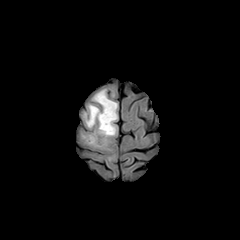
FLAIR MR.
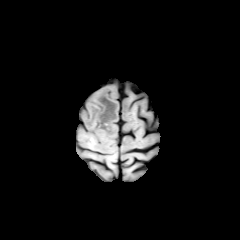
T1-weighted MR of the same slice.
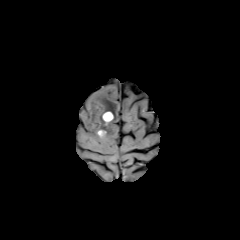
Post-contrast T1-weighted MR image.
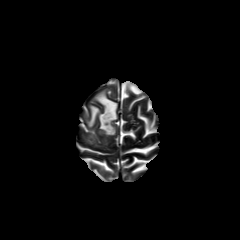
T2-weighted MRI of the same slice.
240x240 px; Head
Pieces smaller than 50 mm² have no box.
The largest enhancing tumor region appears at (102,111,113,123). The largest peritumoral edema region is bounded by (83,89,118,145).